Slice 117/155; Brain
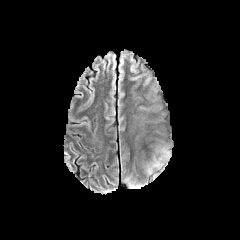
FLAIR MR image.
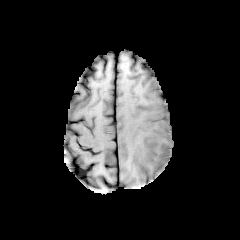
T1-weighted MR image of the same slice.
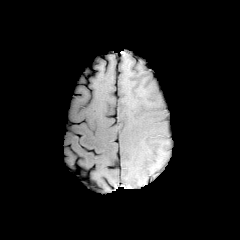
Post-contrast T1-weighted magnetic resonance.
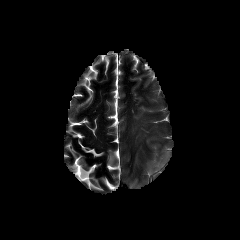
Same slice, T2-weighted MR image.
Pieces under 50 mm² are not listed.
The largest peritumoral edema region is located at 154,158,162,167.